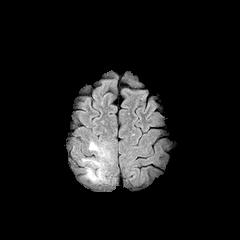
FLAIR MRI.
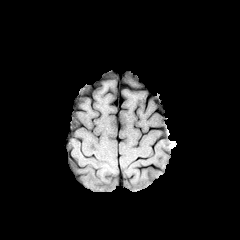
T1-weighted MRI of the same slice.
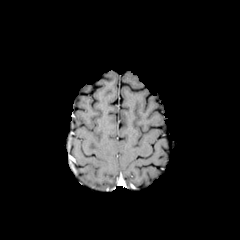
Same slice, post-contrast T1-weighted magnetic resonance.
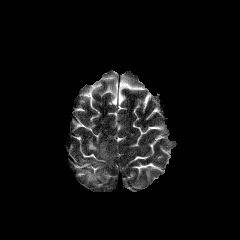
T2-weighted magnetic resonance of the same slice.
Axial plane; Image size 240x240; Head
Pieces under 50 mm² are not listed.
The 2 largest peritumoral edema regions appear at box(89, 142, 98, 150); box(87, 170, 101, 181).